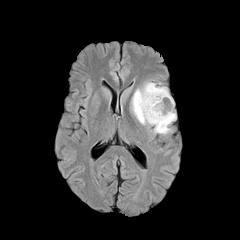
FLAIR MRI.
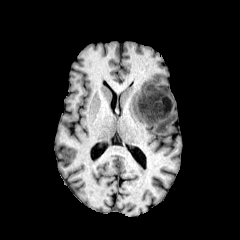
T1-weighted magnetic resonance of the same slice.
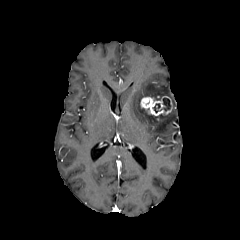
Post-contrast T1-weighted MRI.
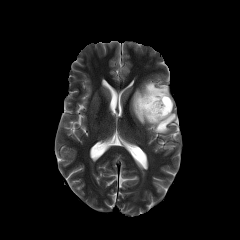
T2-weighted MR of the same slice.
Brain.
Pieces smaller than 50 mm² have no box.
enhancing tumor = (x1=140, y1=96, x2=172, y2=116)
necrotic tumor core = (x1=163, y1=98, x2=171, y2=111)
peritumoral edema = (x1=131, y1=82, x2=176, y2=133)